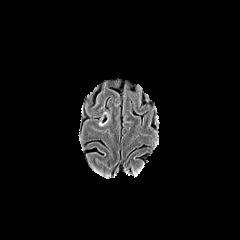
FLAIR MRI.
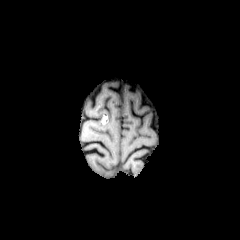
T1-weighted MRI.
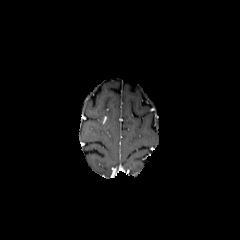
Same slice, post-contrast T1-weighted magnetic resonance.
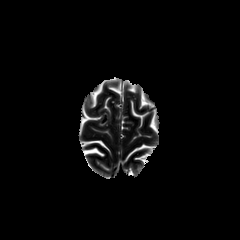
Same slice, T2-weighted MR image.
Head.
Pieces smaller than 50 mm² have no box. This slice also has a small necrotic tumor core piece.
The peritumoral edema appears at [99, 113, 107, 126].